240x240, Brain, Axial plane
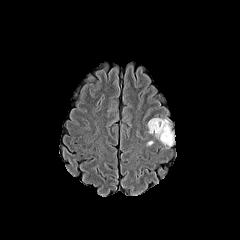
FLAIR MRI.
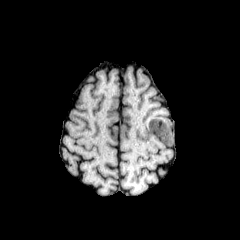
T1-weighted magnetic resonance.
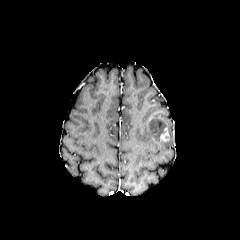
Post-contrast T1-weighted MR.
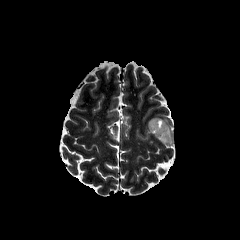
Same slice, T2-weighted MR.
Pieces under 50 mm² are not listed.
The largest peritumoral edema region is located at (left=148, top=118, right=173, bottom=146). The enhancing tumor appears at (left=160, top=127, right=169, bottom=141).